Axial slice.
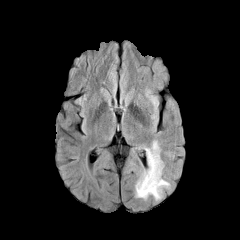
FLAIR MR image.
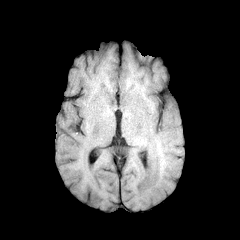
T1-weighted MRI of the same slice.
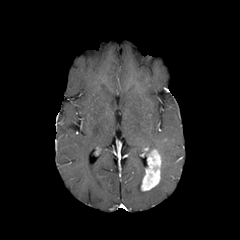
Post-contrast T1-weighted MR image.
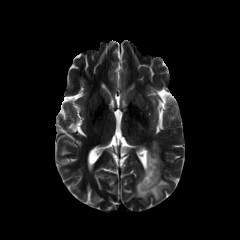
T2-weighted MR image of the same slice.
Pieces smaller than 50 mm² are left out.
peritumoral edema: bounding box [143, 141, 160, 155], [135, 170, 169, 200]
enhancing tumor: bounding box [141, 149, 161, 191]